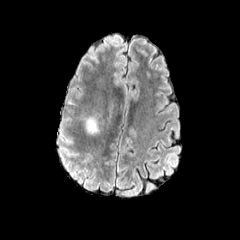
FLAIR MR.
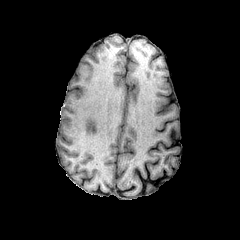
Same slice, T1-weighted MR image.
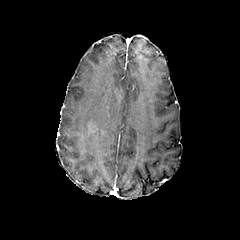
Same slice, post-contrast T1-weighted MR.
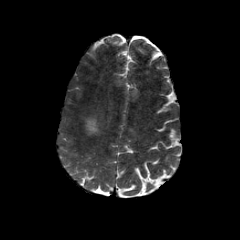
T2-weighted MR of the same slice.
Axial view
enhancing tumor: bounding box (left=86, top=119, right=97, bottom=134)
peritumoral edema: bounding box (left=85, top=115, right=99, bottom=134)